Brain. Axial slice. 240x240.
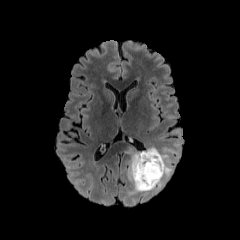
FLAIR MRI.
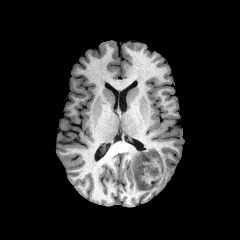
Same slice, T1-weighted magnetic resonance.
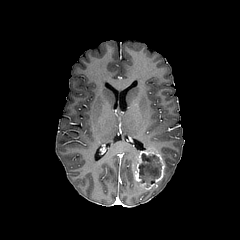
Same slice, post-contrast T1-weighted MRI.
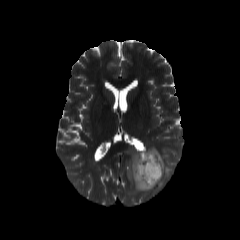
T2-weighted MR.
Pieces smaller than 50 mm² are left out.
necrotic tumor core — {"x1": 138, "y1": 153, "x2": 161, "y2": 187}
peritumoral edema — {"x1": 126, "y1": 147, "x2": 179, "y2": 196}
enhancing tumor — {"x1": 133, "y1": 150, "x2": 165, "y2": 189}